FLAIR magnetic resonance.
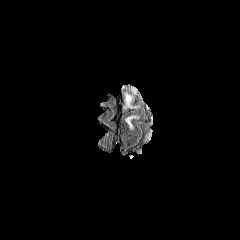
T1-weighted MR.
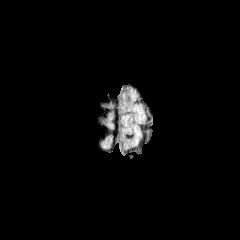
Post-contrast T1-weighted MR image.
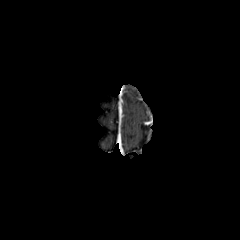
T2-weighted MRI.
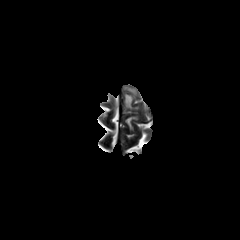
Brain
peritumoral edema: (126,117,135,128), (125,94,132,107)